Slice index 76. Brain. Axial plane.
FLAIR MRI.
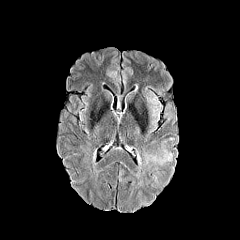
T1-weighted MR image.
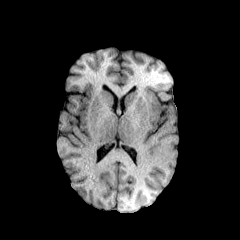
Post-contrast T1-weighted MRI.
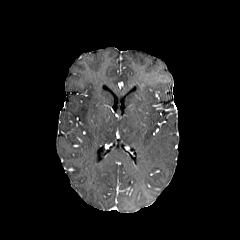
T2-weighted MR image.
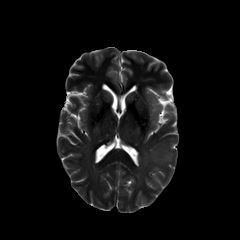
Findings:
• peritumoral edema: x1=139, y1=138, x2=174, y2=167